FLAIR MR.
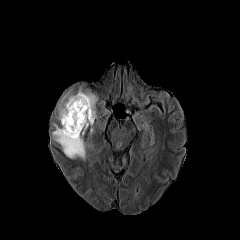
T1-weighted MR image.
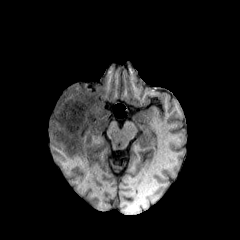
Post-contrast T1-weighted magnetic resonance.
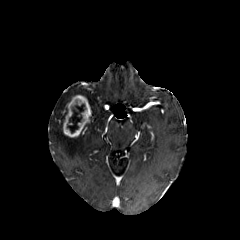
T2-weighted MRI.
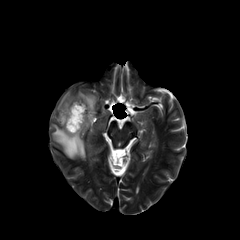
240x240
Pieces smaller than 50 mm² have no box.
The largest necrotic tumor core region is located at (67, 104, 84, 133). The largest enhancing tumor region appears at (63, 95, 91, 137). 3 peritumoral edema regions are located at (52, 122, 85, 160), (76, 88, 96, 134), (57, 89, 74, 119).